FLAIR MR.
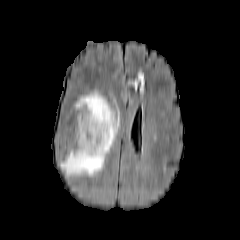
T1-weighted MR image.
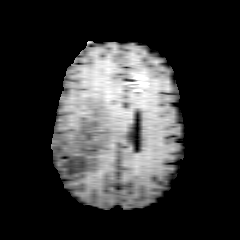
Post-contrast T1-weighted MR image.
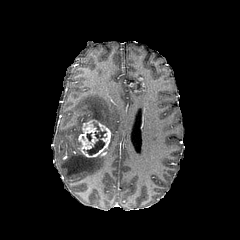
T2-weighted MR.
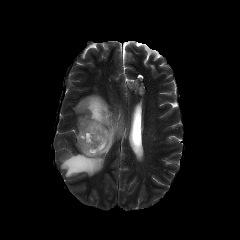
240x240, Axial plane, Brain
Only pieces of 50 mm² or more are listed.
The largest peritumoral edema region is at 60 92 118 176. The enhancing tumor lies within 78 119 111 157. The largest necrotic tumor core region lies within 86 122 106 155.